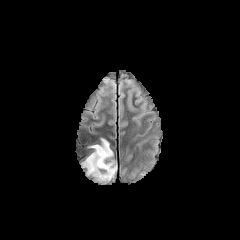
FLAIR MR.
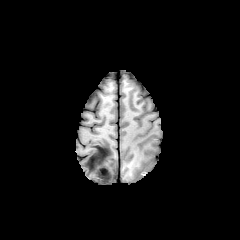
T1-weighted MR.
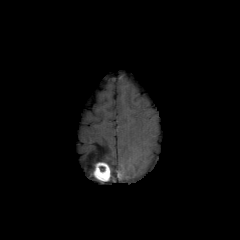
Post-contrast T1-weighted magnetic resonance.
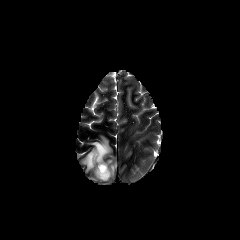
T2-weighted MR.
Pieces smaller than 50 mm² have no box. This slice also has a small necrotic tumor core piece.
Findings:
• enhancing tumor: (93, 162, 110, 181)
• peritumoral edema: (82, 138, 112, 173), (107, 160, 116, 179)